240x240. Axial plane.
FLAIR MR image.
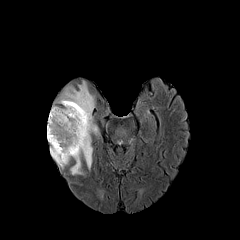
T1-weighted magnetic resonance.
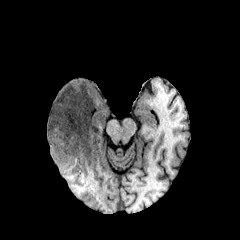
Post-contrast T1-weighted MR.
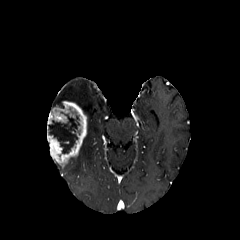
T2-weighted MR.
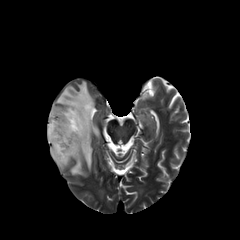
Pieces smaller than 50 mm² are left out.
necrotic tumor core — box=[48, 114, 79, 153]
peritumoral edema — box=[54, 81, 98, 174]
enhancing tumor — box=[47, 101, 87, 167]